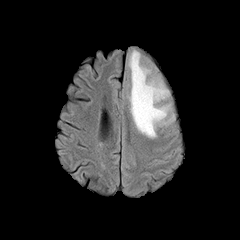
FLAIR MR image.
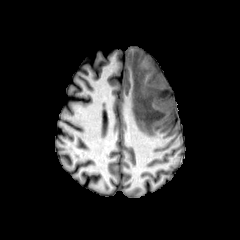
T1-weighted MR image.
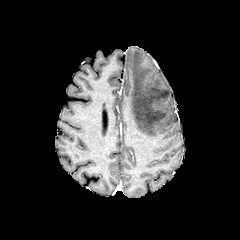
Post-contrast T1-weighted MR image.
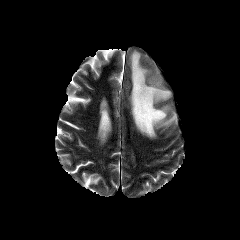
Same slice, T2-weighted MRI.
The peritumoral edema is located at (129, 50, 174, 137).